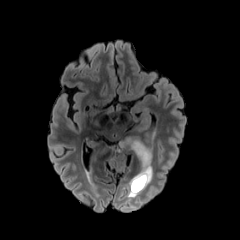
FLAIR MRI.
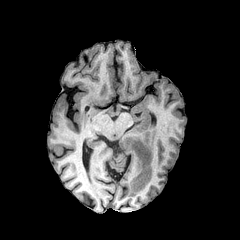
Same slice, T1-weighted magnetic resonance.
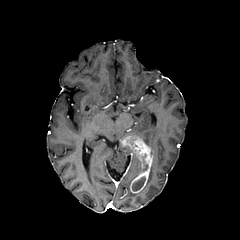
Post-contrast T1-weighted magnetic resonance.
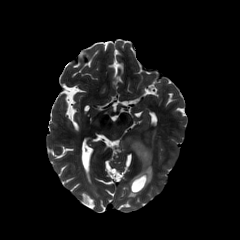
T2-weighted MRI of the same slice.
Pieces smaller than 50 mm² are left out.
Segmented structures:
- enhancing tumor: [120, 136, 152, 193]
- peritumoral edema: [144, 166, 152, 188]
- necrotic tumor core: [132, 178, 145, 190]